240x240 px. Slice 87/155. Image width 240 mm.
FLAIR MR.
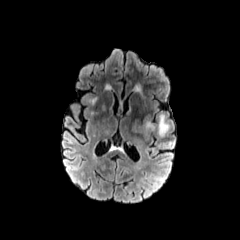
T1-weighted MR image.
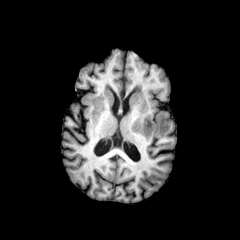
Post-contrast T1-weighted magnetic resonance.
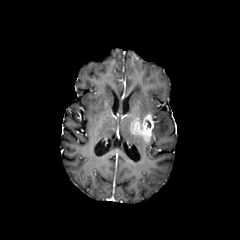
T2-weighted MRI.
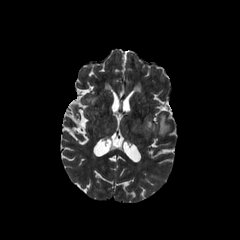
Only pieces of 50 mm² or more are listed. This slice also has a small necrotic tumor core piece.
The enhancing tumor is bounded by (left=130, top=114, right=153, bottom=141). The largest peritumoral edema region appears at (left=157, top=114, right=169, bottom=136).